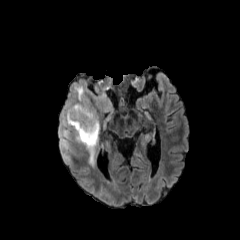
FLAIR MR.
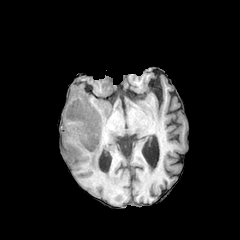
T1-weighted MR image.
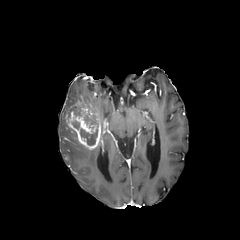
Post-contrast T1-weighted MR.
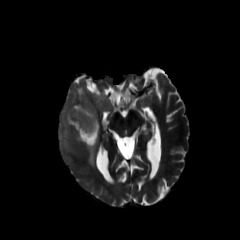
T2-weighted MR image of the same slice.
Head, Axial view
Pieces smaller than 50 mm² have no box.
Findings:
• necrotic tumor core: <bbox>72, 121, 79, 129</bbox>, <bbox>85, 116, 97, 124</bbox>, <bbox>80, 126, 97, 145</bbox>
• enhancing tumor: <bbox>65, 96, 101, 150</bbox>
• peritumoral edema: <bbox>87, 149, 99, 169</bbox>, <bbox>59, 77, 115, 161</bbox>